FLAIR magnetic resonance.
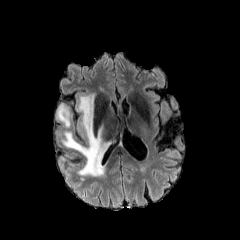
T1-weighted magnetic resonance.
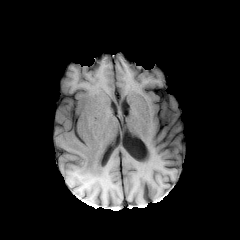
Post-contrast T1-weighted MR.
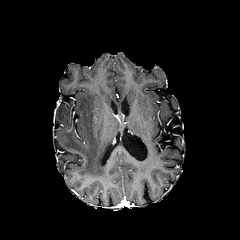
T2-weighted MR image.
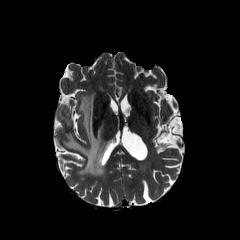
Axial view
2 peritumoral edema regions appear at <box>62,93,111,176</box>, <box>57,104,69,127</box>.